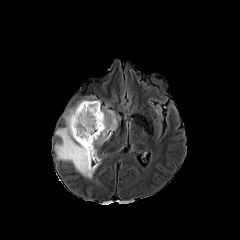
FLAIR magnetic resonance.
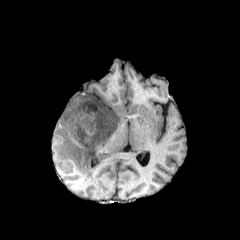
Same slice, T1-weighted MR.
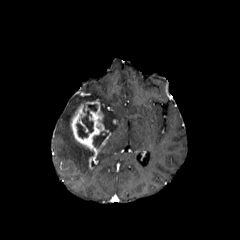
Post-contrast T1-weighted MR image of the same slice.
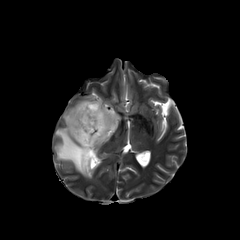
T2-weighted magnetic resonance of the same slice.
Head
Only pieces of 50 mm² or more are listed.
necrotic tumor core at {"x1": 88, "y1": 104, "x2": 97, "y2": 111}, {"x1": 93, "y1": 131, "x2": 107, "y2": 146}, {"x1": 76, "y1": 110, "x2": 93, "y2": 138}
peritumoral edema at {"x1": 101, "y1": 103, "x2": 120, "y2": 134}, {"x1": 54, "y1": 96, "x2": 101, "y2": 178}
enhancing tumor at {"x1": 70, "y1": 100, "x2": 108, "y2": 169}